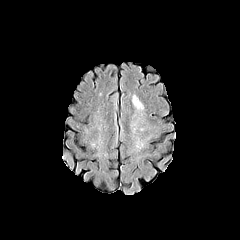
FLAIR MR.
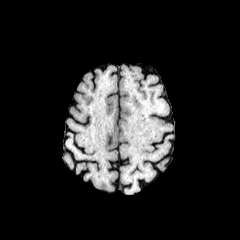
Same slice, T1-weighted MRI.
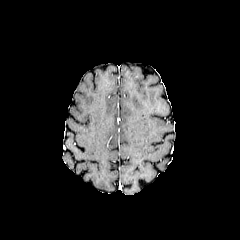
Post-contrast T1-weighted MR.
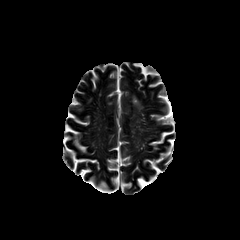
Same slice, T2-weighted MR image.
240x240 | Axial slice
peritumoral edema — x1=133, y1=95, x2=142, y2=107